Brain; Slice index 117; Axial plane; 240x240 px
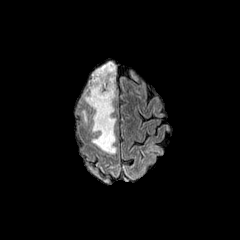
FLAIR MR.
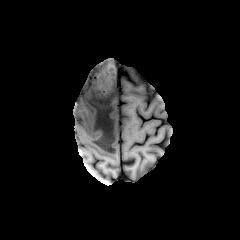
T1-weighted MR image of the same slice.
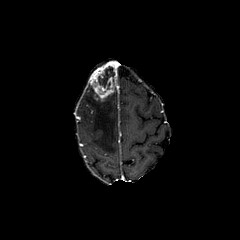
Post-contrast T1-weighted MR image.
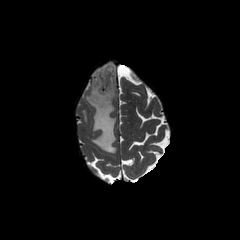
Same slice, T2-weighted MRI.
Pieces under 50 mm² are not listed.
enhancing tumor = <bbox>89, 60, 116, 101</bbox>
necrotic tumor core = <bbox>98, 66, 114, 89</bbox>
peritumoral edema = <bbox>89, 65, 104, 79</bbox>, <bbox>84, 84, 116, 153</bbox>